Brain. 240x240.
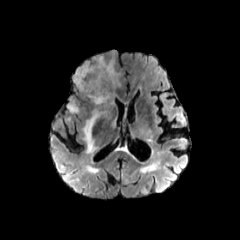
FLAIR MRI.
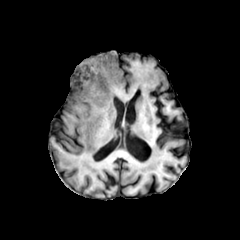
Same slice, T1-weighted magnetic resonance.
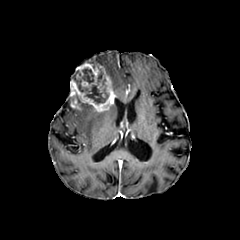
Same slice, post-contrast T1-weighted magnetic resonance.
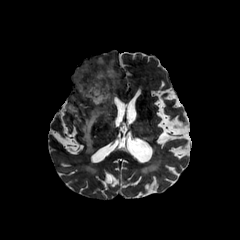
T2-weighted magnetic resonance.
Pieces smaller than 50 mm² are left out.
enhancing tumor = [70, 62, 115, 112]
necrotic tumor core = [82, 68, 93, 83], [78, 84, 108, 103], [77, 96, 93, 107], [73, 70, 81, 83]
peritumoral edema = [67, 104, 79, 112], [82, 108, 103, 153], [98, 57, 117, 86]